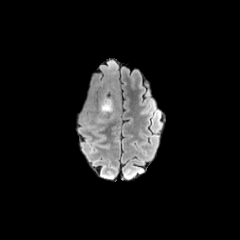
FLAIR MRI.
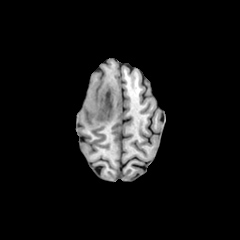
T1-weighted MR.
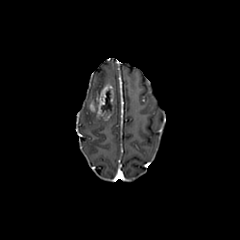
Post-contrast T1-weighted MR of the same slice.
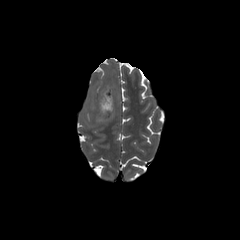
Same slice, T2-weighted MRI.
Head. Axial view.
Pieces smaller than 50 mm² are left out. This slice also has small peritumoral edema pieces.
The enhancing tumor appears at bbox(89, 84, 115, 120). The necrotic tumor core is bounded by bbox(101, 90, 112, 112).